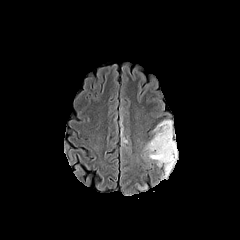
FLAIR MRI.
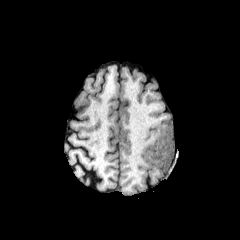
T1-weighted MRI.
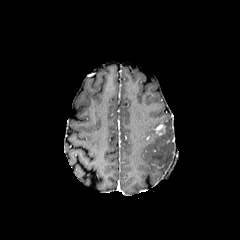
Post-contrast T1-weighted magnetic resonance.
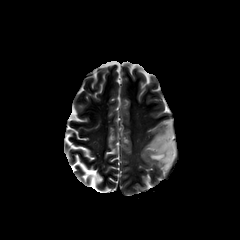
T2-weighted MR image of the same slice.
Image size 240x240
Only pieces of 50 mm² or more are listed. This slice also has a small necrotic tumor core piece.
Annotated regions:
- peritumoral edema: [144,119,178,175], [137,183,148,190], [120,118,127,143]
- enhancing tumor: [155,124,165,135]